Slice index 46 | 240x240 | Brain
FLAIR MRI.
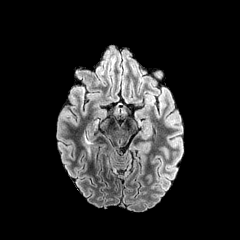
T1-weighted MRI.
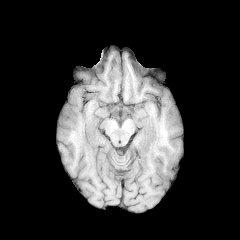
Post-contrast T1-weighted MR image.
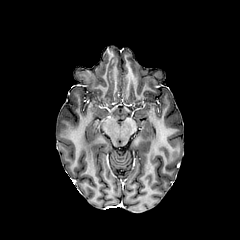
T2-weighted magnetic resonance.
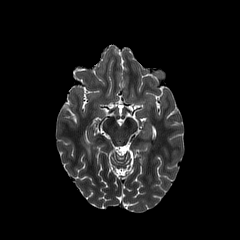
{
  "peritumoral_edema": [
    {"x1": 81, "y1": 132, "x2": 92, "y2": 158}
  ]
}